FLAIR MR.
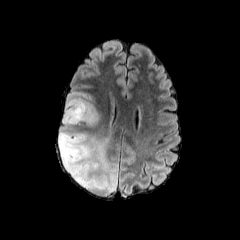
T1-weighted MRI.
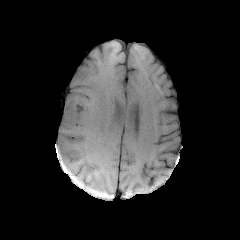
Post-contrast T1-weighted MRI.
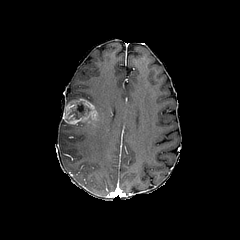
T2-weighted MR image.
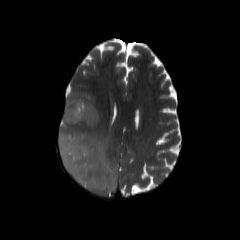
Brain | Axial view | Image size 240x240
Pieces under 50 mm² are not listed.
The enhancing tumor is at bbox=[63, 98, 97, 124]. The largest necrotic tumor core region lies within bbox=[70, 101, 90, 118]. 3 peritumoral edema regions appear at bbox=[78, 115, 98, 125]; bbox=[66, 92, 93, 104]; bbox=[58, 120, 117, 197].